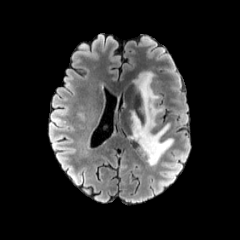
FLAIR magnetic resonance.
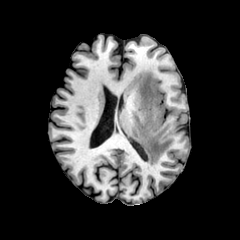
T1-weighted MR image.
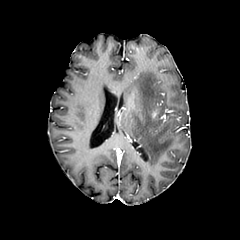
Post-contrast T1-weighted MR image of the same slice.
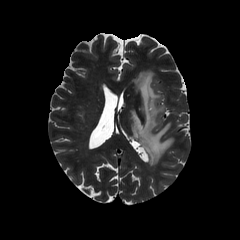
T2-weighted MRI.
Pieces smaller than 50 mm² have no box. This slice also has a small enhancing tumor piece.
- peritumoral edema: 131, 71, 173, 165